Head
FLAIR MR.
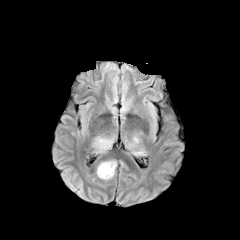
T1-weighted magnetic resonance.
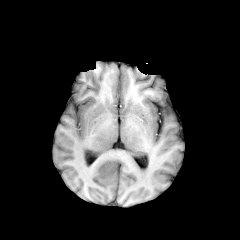
Post-contrast T1-weighted MRI.
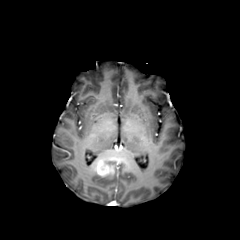
T2-weighted MR.
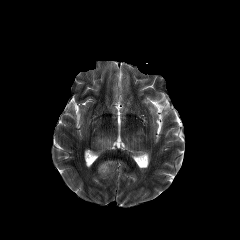
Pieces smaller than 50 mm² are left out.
peritumoral edema at [104,160,116,169], [96,137,112,151]
enhancing tumor at [96,161,114,176]